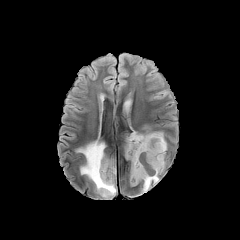
FLAIR magnetic resonance.
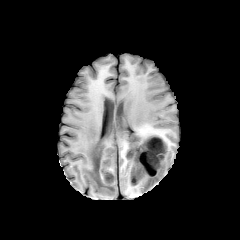
T1-weighted magnetic resonance.
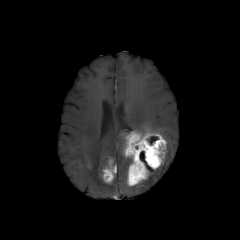
Post-contrast T1-weighted MR.
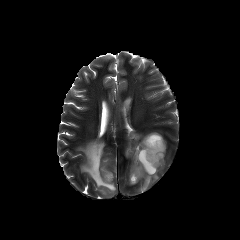
T2-weighted MR image.
Image size 240x240.
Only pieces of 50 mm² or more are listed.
Annotated regions:
* necrotic tumor core: rect(148, 136, 158, 144); rect(140, 151, 155, 174)
* enhancing tumor: rect(102, 159, 116, 183); rect(124, 131, 166, 185)
* peritumoral edema: rect(142, 124, 163, 137); rect(141, 160, 165, 192); rect(77, 140, 116, 197)